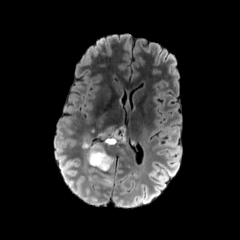
FLAIR MR image.
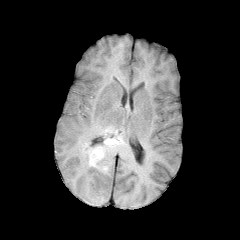
T1-weighted MRI of the same slice.
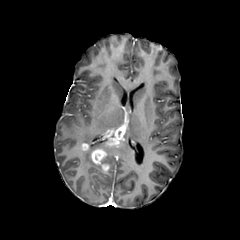
Post-contrast T1-weighted magnetic resonance.
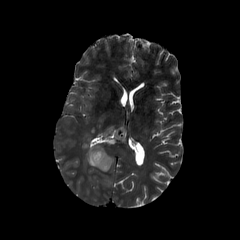
Same slice, T2-weighted MR.
240x240.
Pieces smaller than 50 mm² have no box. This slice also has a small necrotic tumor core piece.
Annotated regions:
• enhancing tumor: region(103, 124, 126, 145); region(91, 148, 109, 171)
• peritumoral edema: region(83, 132, 95, 145); region(102, 178, 111, 186); region(119, 135, 128, 155); region(85, 141, 103, 168); region(104, 154, 114, 166)